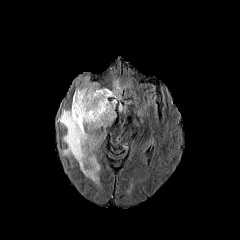
FLAIR magnetic resonance.
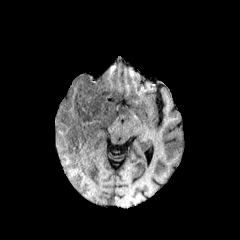
T1-weighted MRI.
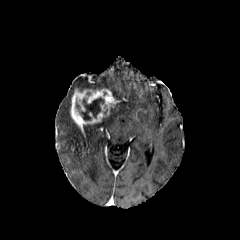
Post-contrast T1-weighted MR.
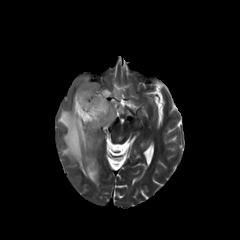
T2-weighted magnetic resonance.
Axial slice; 240x240 px; Brain
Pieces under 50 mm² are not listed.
enhancing tumor = [70, 88, 116, 133]
necrotic tumor core = [76, 98, 104, 120]
peritumoral edema = [110, 80, 122, 102], [56, 105, 116, 183], [76, 77, 102, 91]